240x240 px. Slice 111/155. Axial plane.
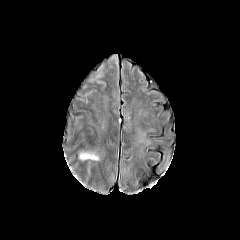
FLAIR MRI.
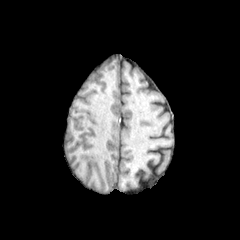
T1-weighted MRI.
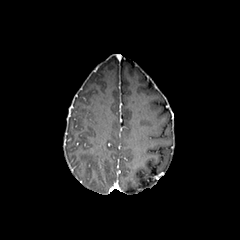
Same slice, post-contrast T1-weighted MRI.
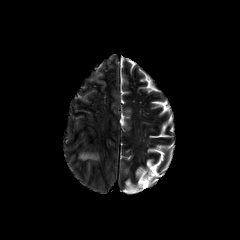
T2-weighted MR image of the same slice.
{
  "peritumoral_edema": [
    "[79, 153, 98, 160]"
  ]
}